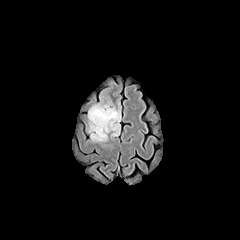
FLAIR MR.
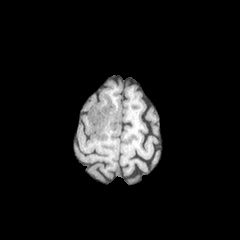
T1-weighted MR.
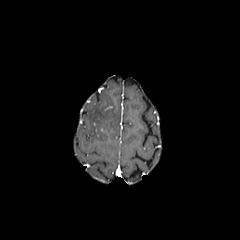
Post-contrast T1-weighted MRI of the same slice.
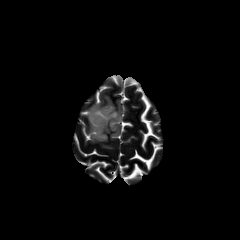
T2-weighted MR image.
Image size 240x240; Axial slice
peritumoral_edema:
  - left=88, top=103, right=120, bottom=144